FLAIR MR image.
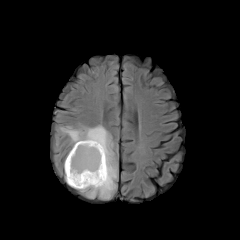
T1-weighted magnetic resonance.
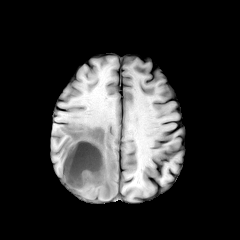
Post-contrast T1-weighted MRI.
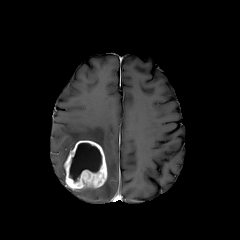
T2-weighted MR image.
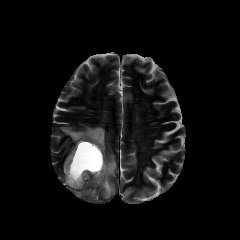
Axial plane | Head
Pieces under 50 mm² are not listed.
The enhancing tumor lies within x1=64, y1=140, x2=107, y2=192. The necrotic tumor core appears at x1=69, y1=143, x2=101, y2=181. The largest peritumoral edema region is at x1=60, y1=125, x2=117, y2=198.